Image width 240 mm; Head; Axial plane
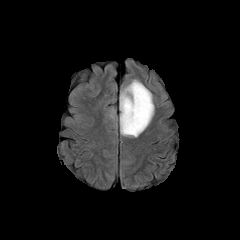
FLAIR MRI.
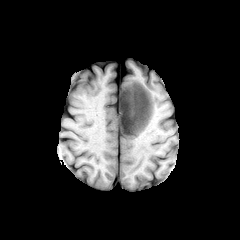
Same slice, T1-weighted MR image.
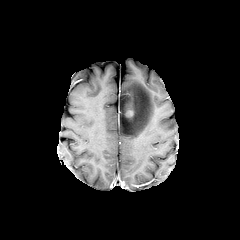
Post-contrast T1-weighted MRI.
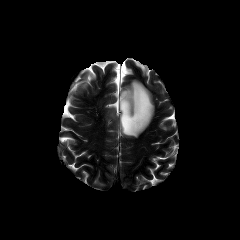
Same slice, T2-weighted MRI.
peritumoral edema at region(120, 79, 154, 137)
enhancing tumor at region(125, 110, 133, 117)